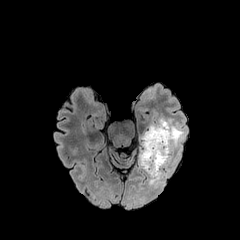
FLAIR MRI.
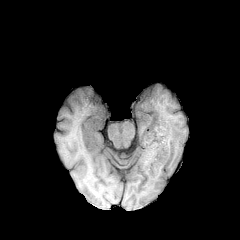
Same slice, T1-weighted MR.
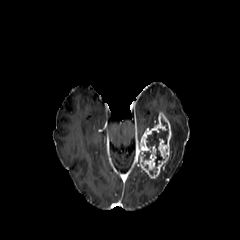
Post-contrast T1-weighted MR image.
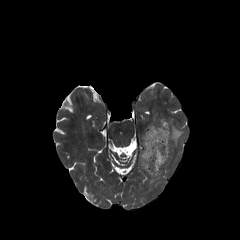
Same slice, T2-weighted magnetic resonance.
Axial slice. 240x240 px.
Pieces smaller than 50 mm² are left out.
peritumoral edema: bounding box [148, 169, 163, 185], [165, 118, 184, 165]
necrotic tumor core: bounding box [146, 129, 168, 166]
enhancing tumor: bounding box [138, 113, 171, 178]